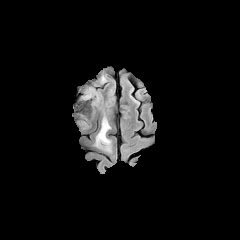
FLAIR magnetic resonance.
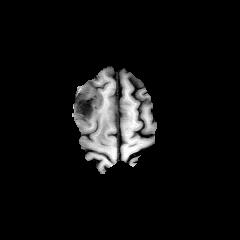
Same slice, T1-weighted MR image.
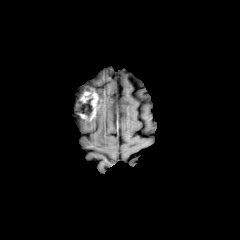
Post-contrast T1-weighted magnetic resonance of the same slice.
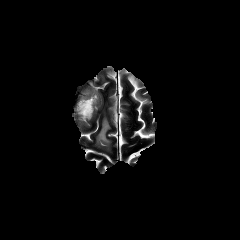
T2-weighted magnetic resonance.
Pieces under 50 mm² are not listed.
The largest peritumoral edema region appears at x1=93, y1=89, x2=114, y2=152. The enhancing tumor is bounded by x1=74, y1=87, x2=98, y2=120. The necrotic tumor core is bounded by x1=79, y1=99, x2=92, y2=115.